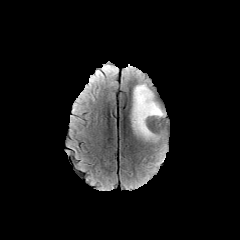
FLAIR MR image.
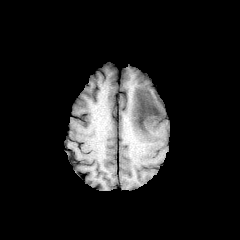
T1-weighted MRI of the same slice.
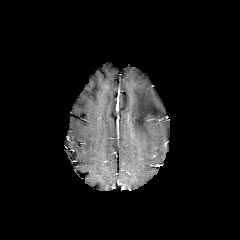
Post-contrast T1-weighted MR of the same slice.
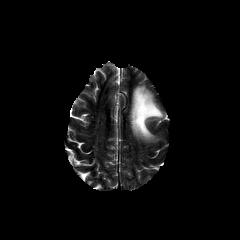
Same slice, T2-weighted magnetic resonance.
Head; 240x240
peritumoral edema = 130:82:165:141